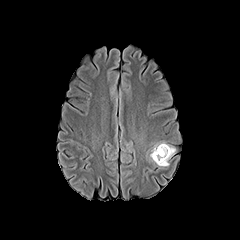
FLAIR magnetic resonance.
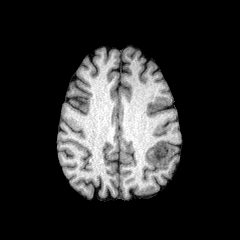
T1-weighted MR image.
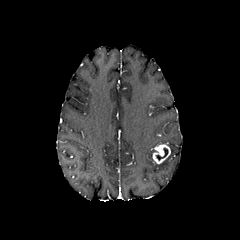
Post-contrast T1-weighted MRI of the same slice.
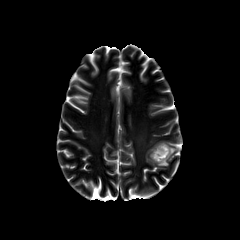
T2-weighted MRI.
Head | Axial plane
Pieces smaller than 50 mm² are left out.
enhancing_tumor:
  - [x1=152, y1=144, x2=170, y2=163]
necrotic_tumor_core:
  - [x1=156, y1=148, x2=168, y2=160]
peritumoral_edema:
  - [x1=158, y1=146, x2=175, y2=166]